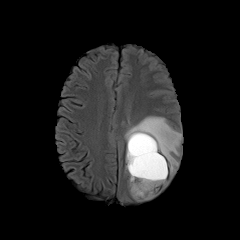
FLAIR MR.
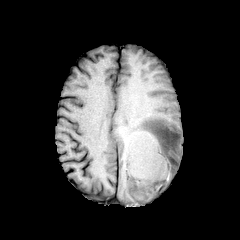
T1-weighted MR image.
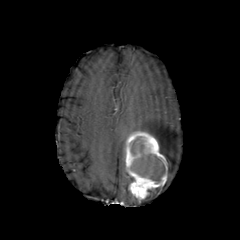
Post-contrast T1-weighted magnetic resonance.
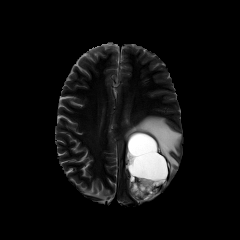
T2-weighted MR.
Brain.
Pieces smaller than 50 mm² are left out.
peritumoral edema: <box>133,188,158,200</box>, <box>124,116,182,175</box>
enhancing tumor: <box>125,131,167,199</box>
necrotic tumor core: <box>130,137,165,181</box>